Axial slice
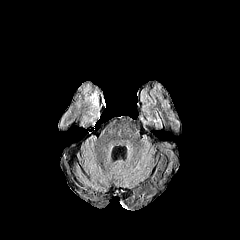
FLAIR MRI.
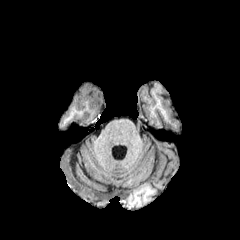
Same slice, T1-weighted MR.
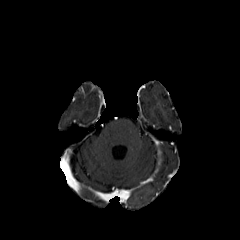
Same slice, post-contrast T1-weighted MR.
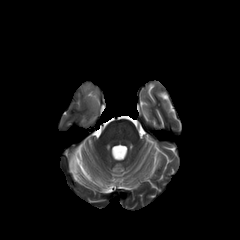
T2-weighted MR.
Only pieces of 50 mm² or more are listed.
The largest peritumoral edema region lies within rect(90, 92, 98, 108).